Slice index 84. Axial slice.
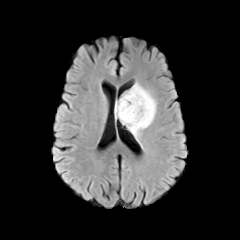
FLAIR MR image.
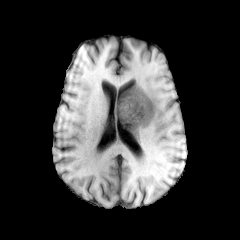
T1-weighted MRI.
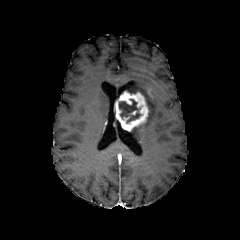
Same slice, post-contrast T1-weighted MR.
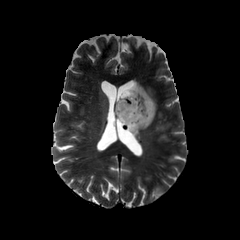
T2-weighted MRI.
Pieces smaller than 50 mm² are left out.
Annotated regions:
- necrotic tumor core: rect(127, 112, 140, 122); rect(119, 99, 138, 117)
- enhancing tumor: rect(115, 91, 149, 130)
- peritumoral edema: rect(127, 83, 156, 140)